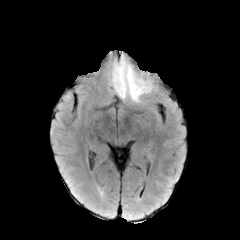
FLAIR MR.
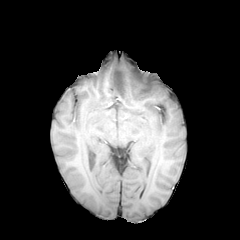
Same slice, T1-weighted MR.
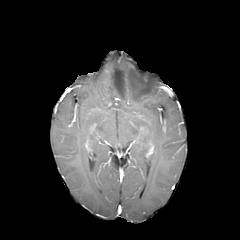
Post-contrast T1-weighted MR image of the same slice.
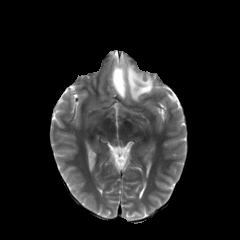
T2-weighted magnetic resonance.
240x240 px
Segmented structures:
• peritumoral edema: <box>112,57,153,101</box>